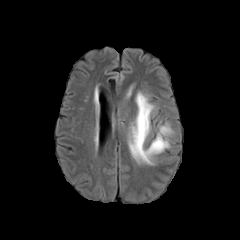
FLAIR magnetic resonance.
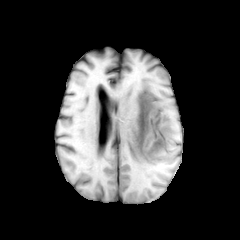
T1-weighted MR.
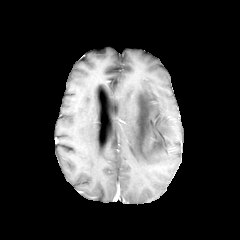
Post-contrast T1-weighted MRI of the same slice.
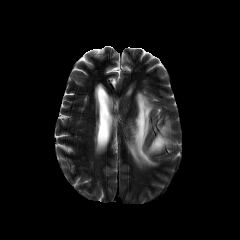
T2-weighted magnetic resonance of the same slice.
240x240, Brain
The peritumoral edema is located at box=[128, 92, 172, 165].